Head. Axial slice.
FLAIR MR image.
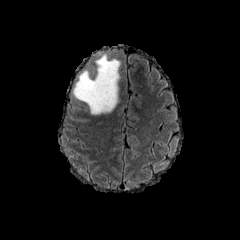
T1-weighted MR.
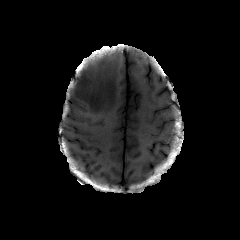
Post-contrast T1-weighted MR image.
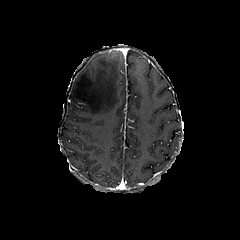
T2-weighted MR.
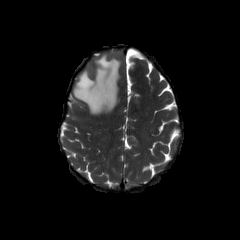
The peritumoral edema appears at 73,53,120,114.